FLAIR MRI.
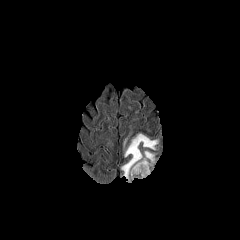
T1-weighted magnetic resonance.
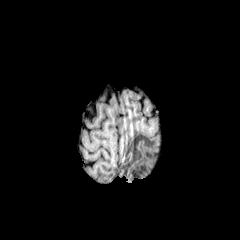
Post-contrast T1-weighted MR image.
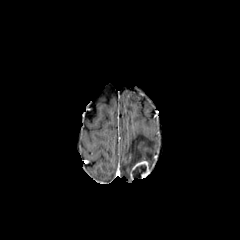
T2-weighted MRI.
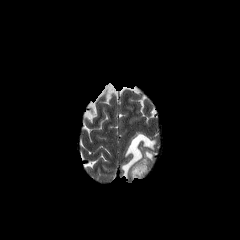
Brain
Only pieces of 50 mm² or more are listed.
- peritumoral edema: {"x1": 144, "y1": 150, "x2": 155, "y2": 163}, {"x1": 121, "y1": 133, "x2": 158, "y2": 180}
- enhancing tumor: {"x1": 130, "y1": 161, "x2": 150, "y2": 179}
- necrotic tumor core: {"x1": 132, "y1": 165, "x2": 146, "y2": 178}